FLAIR magnetic resonance.
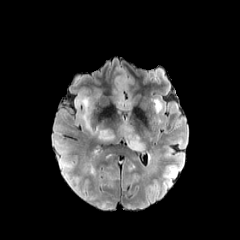
T1-weighted MR image.
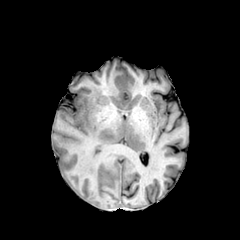
Post-contrast T1-weighted MR.
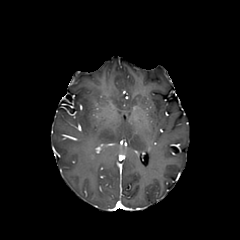
T2-weighted MR.
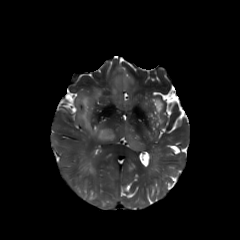
240x240
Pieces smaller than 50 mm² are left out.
The 3 largest peritumoral edema regions are bounded by box=[121, 124, 144, 151]; box=[75, 95, 114, 141]; box=[154, 99, 161, 112].